Slice 47 of 155 | Image covers 240 mm x 240 mm | Image size 240x240
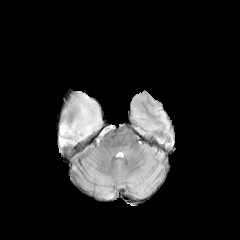
FLAIR magnetic resonance.
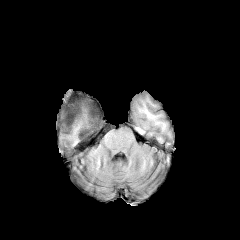
Same slice, T1-weighted magnetic resonance.
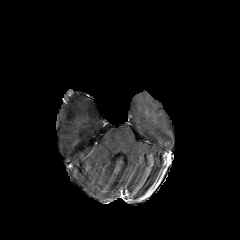
Post-contrast T1-weighted MR image.
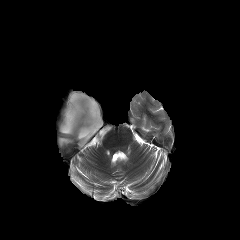
T2-weighted magnetic resonance.
peritumoral_edema:
  - [59,93,102,146]